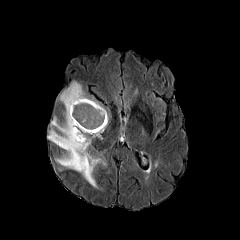
FLAIR MRI.
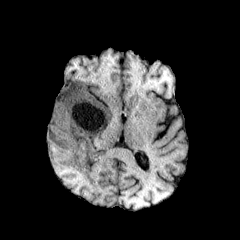
Same slice, T1-weighted MR image.
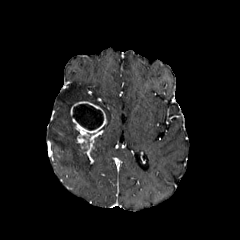
Same slice, post-contrast T1-weighted MR image.
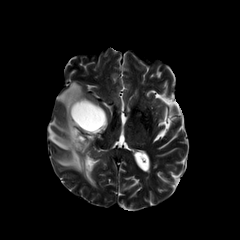
T2-weighted magnetic resonance.
Brain. Axial slice.
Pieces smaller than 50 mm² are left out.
peritumoral edema: 48:81:108:187 | enhancing tumor: 70:101:107:148 | necrotic tumor core: 72:104:103:130